Image size 240x240.
FLAIR MR.
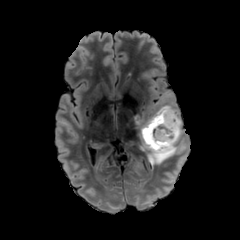
T1-weighted MR image.
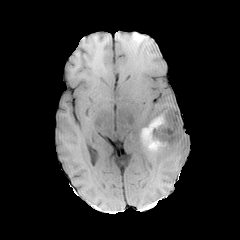
Post-contrast T1-weighted magnetic resonance.
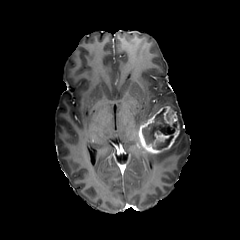
T2-weighted MRI.
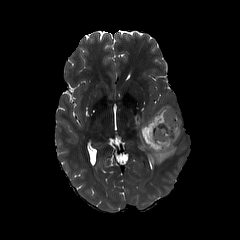
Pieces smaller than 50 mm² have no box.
necrotic tumor core — bbox=[142, 108, 177, 149]
peritumoral edema — bbox=[145, 104, 183, 164]; bbox=[134, 114, 147, 137]
enhancing tumor — bbox=[137, 106, 180, 153]